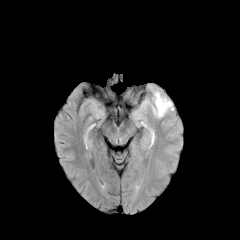
FLAIR MR image.
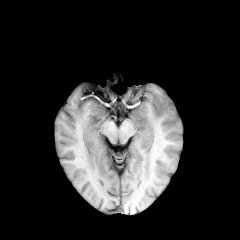
T1-weighted MR of the same slice.
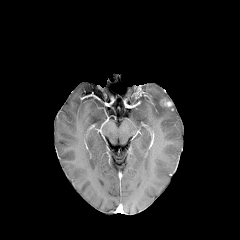
Post-contrast T1-weighted MR.
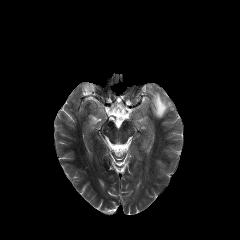
T2-weighted MR.
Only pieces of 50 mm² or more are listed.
peritumoral edema — <box>134,84,173,126</box>
enhancing tumor — <box>160,99,172,107</box>